Image width 240 mm, 1.00 mm slice spacing; Head
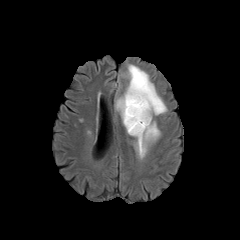
FLAIR MRI.
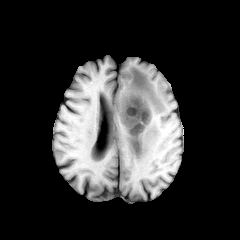
T1-weighted MR image of the same slice.
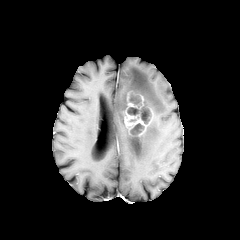
Post-contrast T1-weighted magnetic resonance.
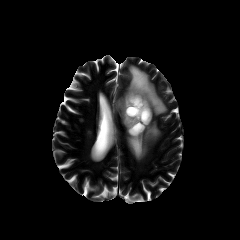
T2-weighted MRI.
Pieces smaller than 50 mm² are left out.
{"enhancing_tumor": ["123, 93, 152, 135"], "peritumoral_edema": ["115, 64, 167, 125", "125, 118, 160, 158"], "necrotic_tumor_core": ["130, 123, 144, 135", "127, 106, 151, 123", "129, 96, 141, 105"]}